Slice 96/155; Axial view; 240x240 px
FLAIR MR image.
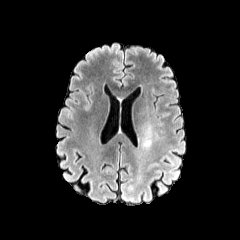
T1-weighted magnetic resonance.
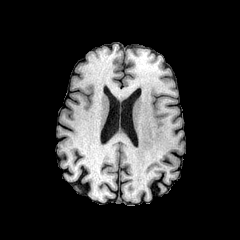
Post-contrast T1-weighted MRI.
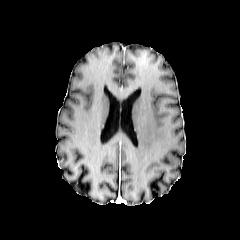
T2-weighted MR.
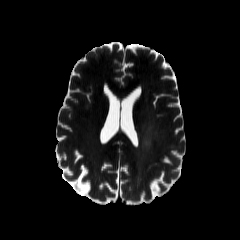
Segmented structures:
- peritumoral edema: 142 124 154 146